FLAIR MR.
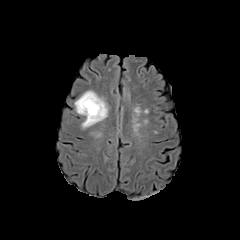
T1-weighted MR image.
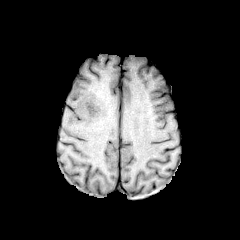
Post-contrast T1-weighted MR image.
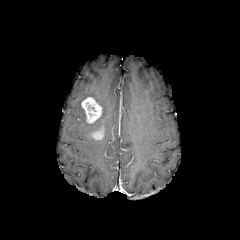
T2-weighted MRI.
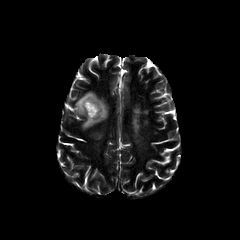
Axial view
2 enhancing tumor regions are bounded by {"x1": 81, "y1": 97, "x2": 102, "y2": 123}, {"x1": 92, "y1": 131, "x2": 102, "y2": 139}. The necrotic tumor core is bounded by {"x1": 87, "y1": 103, "x2": 94, "y2": 115}. The peritumoral edema is located at {"x1": 74, "y1": 90, "x2": 108, "y2": 129}.